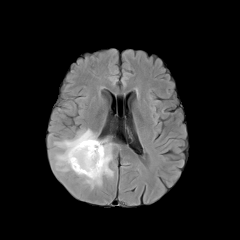
FLAIR magnetic resonance.
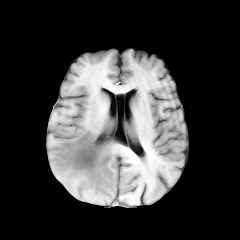
T1-weighted MR.
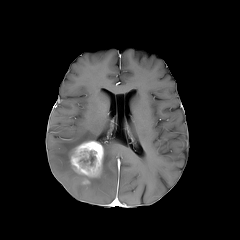
Post-contrast T1-weighted MRI.
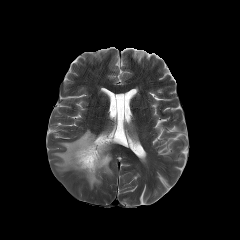
T2-weighted magnetic resonance of the same slice.
Axial slice.
necrotic tumor core at 78:149:95:167
enhancing tumor at 81:179:90:184, 70:141:103:178
peritumoral edema at 55:129:113:188